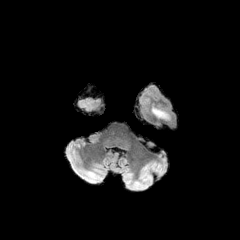
FLAIR MRI.
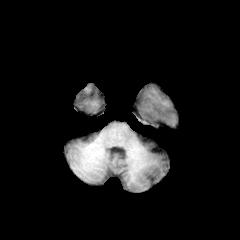
Same slice, T1-weighted MR.
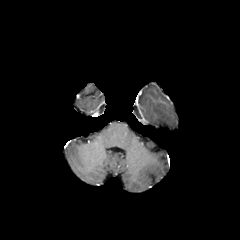
Same slice, post-contrast T1-weighted MRI.
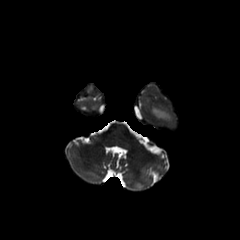
Same slice, T2-weighted magnetic resonance.
{
  "peritumoral_edema": [
    "[152, 106, 170, 119]"
  ]
}